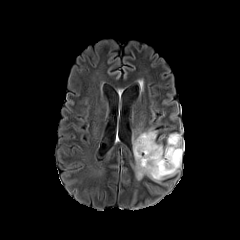
FLAIR MR image.
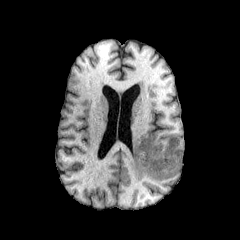
T1-weighted magnetic resonance.
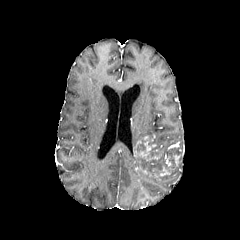
Post-contrast T1-weighted MRI.
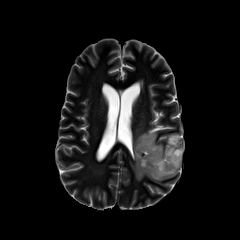
Same slice, T2-weighted magnetic resonance.
Head | Axial view | 240x240 px
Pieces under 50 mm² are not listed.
The 2 largest necrotic tumor core regions are located at region(136, 144, 180, 176); region(134, 138, 145, 152). The 5 largest enhancing tumor regions appear at region(135, 167, 151, 175); region(154, 166, 170, 178); region(164, 154, 171, 166); region(173, 155, 180, 166); region(134, 134, 161, 160). The 4 largest peritumoral edema regions are bounded by region(133, 128, 157, 149); region(135, 170, 145, 180); region(146, 158, 181, 183); region(164, 133, 180, 148).